Axial slice; Slice index 131; Head
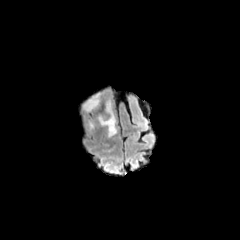
FLAIR MR.
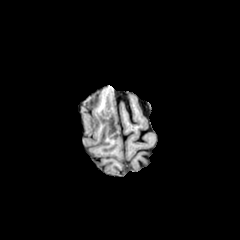
T1-weighted MR image of the same slice.
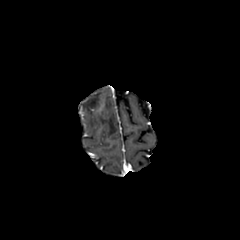
Post-contrast T1-weighted magnetic resonance.
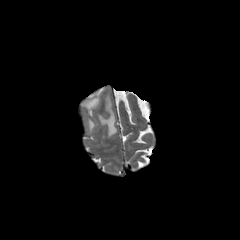
T2-weighted MR image.
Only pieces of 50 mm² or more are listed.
<segmentation>
  <peritumoral_edema>[85, 94, 99, 109], [99, 101, 117, 136]</peritumoral_edema>
</segmentation>